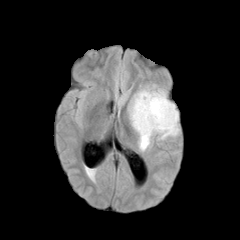
FLAIR MR.
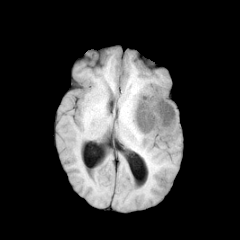
T1-weighted MR.
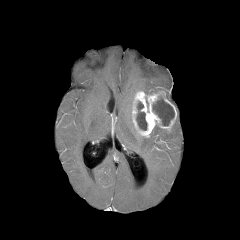
Post-contrast T1-weighted magnetic resonance.
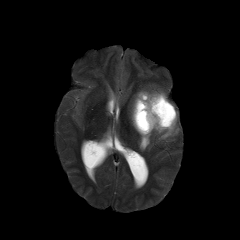
Same slice, T2-weighted MR image.
Brain
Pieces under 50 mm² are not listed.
<segmentation>
  <peritumoral_edema>(left=128, top=96, right=133, bottom=127), (left=138, top=113, right=179, bottom=151), (left=139, top=85, right=157, bottom=93)</peritumoral_edema>
  <necrotic_tumor_core>(left=136, top=102, right=146, bottom=130), (left=153, top=98, right=174, bottom=125)</necrotic_tumor_core>
  <enhancing_tumor>(left=131, top=87, right=177, bottom=137)</enhancing_tumor>
</segmentation>